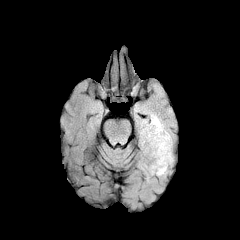
FLAIR MR image.
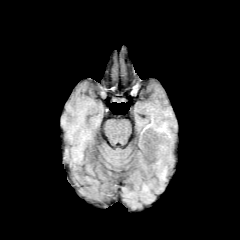
Same slice, T1-weighted MR image.
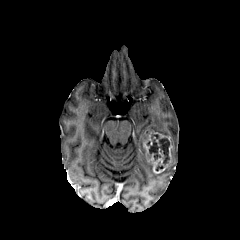
Post-contrast T1-weighted magnetic resonance.
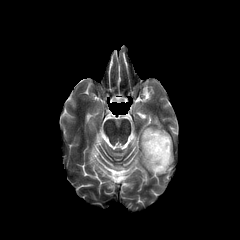
Same slice, T2-weighted magnetic resonance.
Brain
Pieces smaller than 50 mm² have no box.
peritumoral edema = (140, 114, 173, 175), (156, 149, 173, 175)
enhancing tumor = (143, 131, 172, 173)
necrotic tumor core = (149, 134, 169, 164)